Brain; Slice 87/155
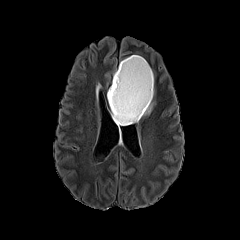
FLAIR magnetic resonance.
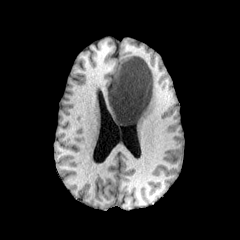
Same slice, T1-weighted magnetic resonance.
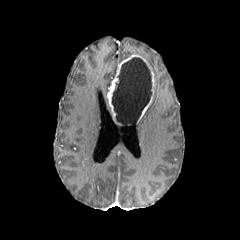
Post-contrast T1-weighted MR image.
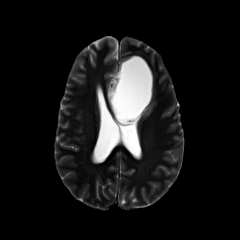
T2-weighted MRI of the same slice.
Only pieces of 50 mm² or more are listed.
* necrotic tumor core: [112,57,151,125]
* enhancing tumor: [107,55,154,125]
* peritumoral edema: [144,101,154,115]